FLAIR MRI.
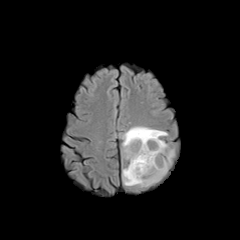
T1-weighted MRI.
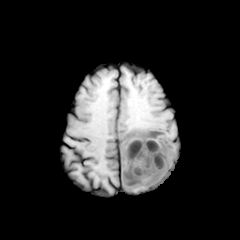
Post-contrast T1-weighted MRI.
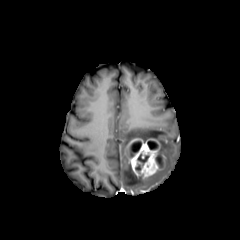
T2-weighted MR.
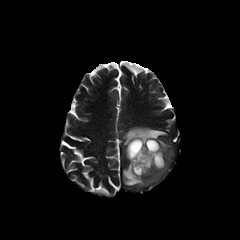
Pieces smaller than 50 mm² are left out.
{
  "necrotic_tumor_core": [
    "box(132, 141, 141, 152)",
    "box(135, 154, 149, 172)",
    "box(147, 141, 156, 149)"
  ],
  "peritumoral_edema": [
    "box(122, 126, 174, 187)"
  ],
  "enhancing_tumor": [
    "box(127, 137, 163, 177)"
  ]
}